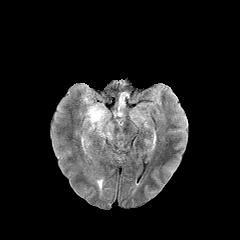
FLAIR MRI.
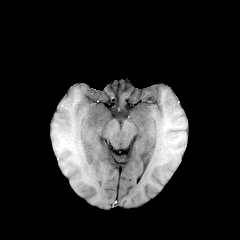
T1-weighted MRI of the same slice.
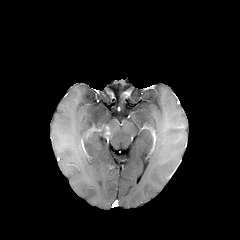
Post-contrast T1-weighted MRI of the same slice.
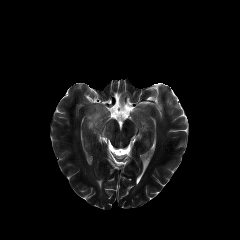
T2-weighted MR image.
Axial view, Head
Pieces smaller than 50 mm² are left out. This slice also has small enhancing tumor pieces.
peritumoral edema: box(86, 106, 111, 137)